FLAIR MRI.
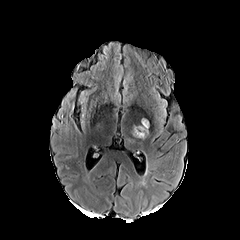
T1-weighted MRI.
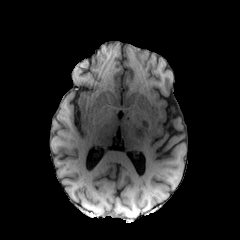
Post-contrast T1-weighted MR image.
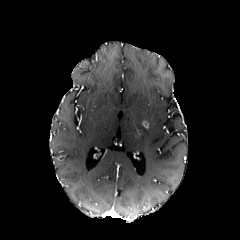
T2-weighted magnetic resonance.
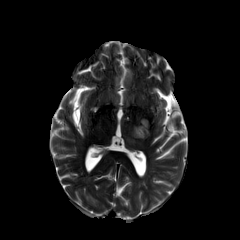
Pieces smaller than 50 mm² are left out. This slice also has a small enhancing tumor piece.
Segmented structures:
- peritumoral edema: box=[131, 124, 148, 138]